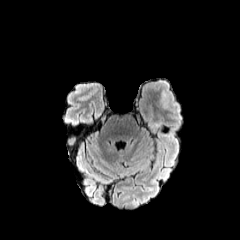
FLAIR MR image.
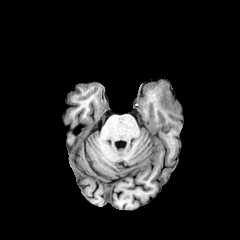
T1-weighted MRI.
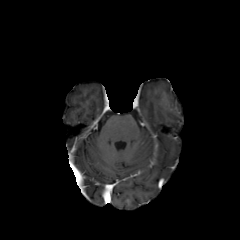
Same slice, post-contrast T1-weighted magnetic resonance.
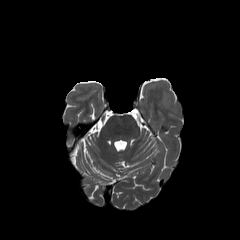
T2-weighted magnetic resonance.
240x240 px | Axial plane | Head
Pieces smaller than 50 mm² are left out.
<segmentation>
  <peritumoral_edema>160,90,170,108; 172,102,179,112</peritumoral_edema>
</segmentation>